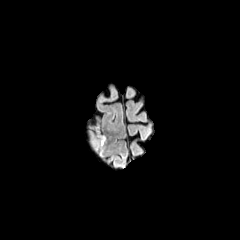
FLAIR MRI.
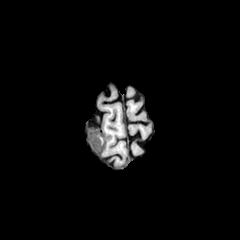
T1-weighted magnetic resonance.
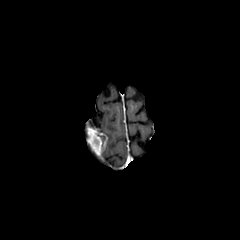
Post-contrast T1-weighted magnetic resonance.
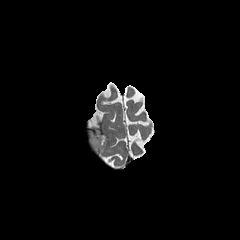
T2-weighted MR image.
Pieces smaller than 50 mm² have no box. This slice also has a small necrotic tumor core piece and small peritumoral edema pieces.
• enhancing tumor: 90:131:107:155